Head
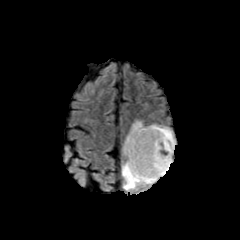
FLAIR MR.
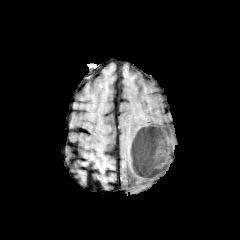
T1-weighted MR of the same slice.
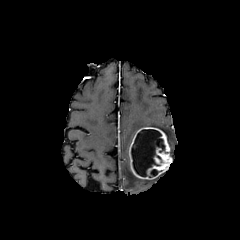
Post-contrast T1-weighted MR image of the same slice.
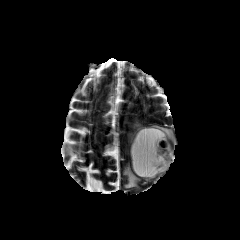
T2-weighted MR.
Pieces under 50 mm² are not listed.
peritumoral edema at l=147, t=124, r=175, b=155; l=122, t=121, r=165, b=190
necrotic tumor core at l=131, t=129, r=164, b=176
enhancing tumor at l=128, t=127, r=172, b=179